Slice 94/155, Axial slice
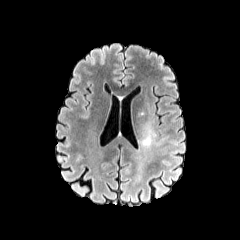
FLAIR MR image.
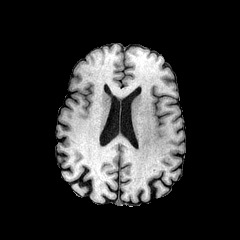
Same slice, T1-weighted magnetic resonance.
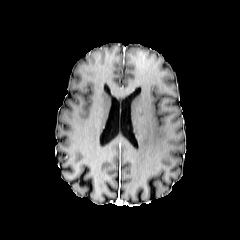
Post-contrast T1-weighted MR of the same slice.
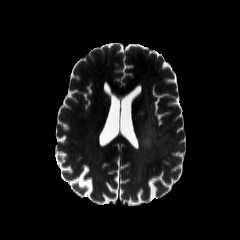
T2-weighted magnetic resonance of the same slice.
peritumoral edema: [x1=140, y1=122, x2=156, y2=147]